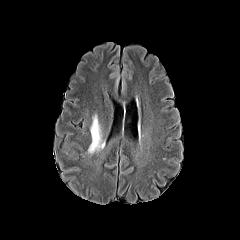
FLAIR MR image.
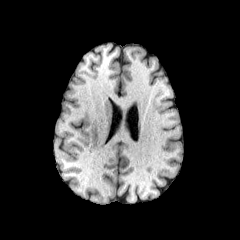
T1-weighted MR.
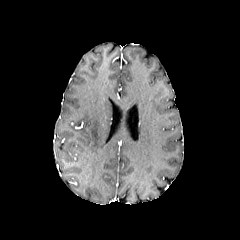
Post-contrast T1-weighted MRI.
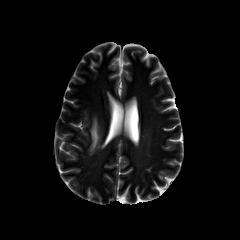
T2-weighted MR image.
Axial plane | 240x240
{"peritumoral_edema": ["region(88, 115, 104, 153)"]}